Brain, Axial view, Slice 129 of 155
FLAIR magnetic resonance.
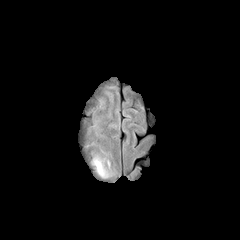
T1-weighted magnetic resonance.
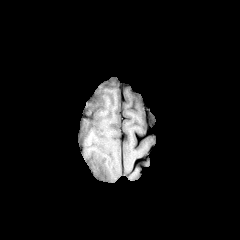
Post-contrast T1-weighted MR.
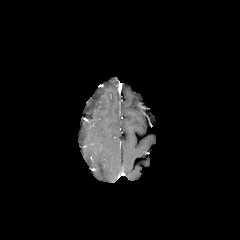
T2-weighted MR image.
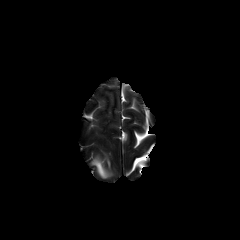
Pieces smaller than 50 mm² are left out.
<segmentation>
  <peritumoral_edema>92 156 110 177</peritumoral_edema>
</segmentation>